FLAIR magnetic resonance.
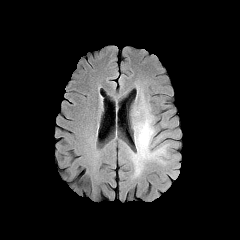
T1-weighted MR image.
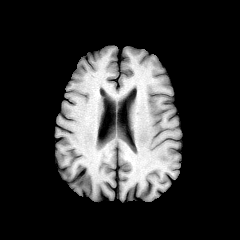
Post-contrast T1-weighted MRI.
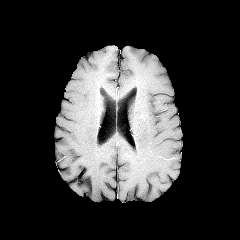
T2-weighted MR.
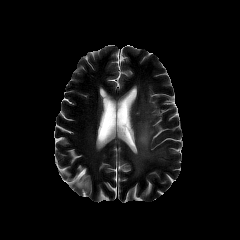
Brain.
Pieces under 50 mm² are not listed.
The largest peritumoral edema region is bounded by <bbox>135, 107, 165, 164</bbox>.